FLAIR magnetic resonance.
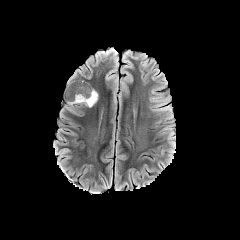
T1-weighted MR.
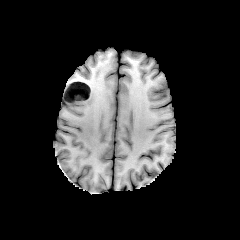
Post-contrast T1-weighted magnetic resonance.
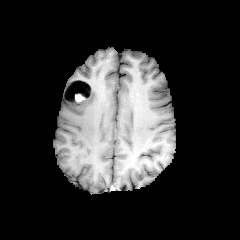
T2-weighted MRI.
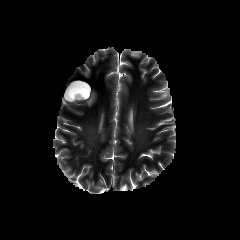
Brain
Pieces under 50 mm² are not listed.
peritumoral edema at l=75, t=90, r=97, b=107
necrotic tumor core at l=66, t=81, r=90, b=100
enhancing tumor at l=63, t=79, r=92, b=103